Axial plane.
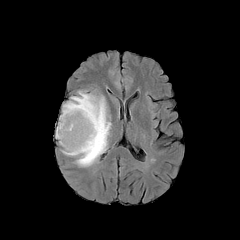
FLAIR MR.
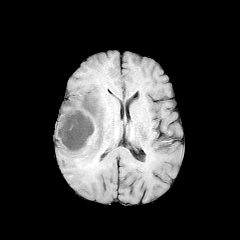
Same slice, T1-weighted MR.
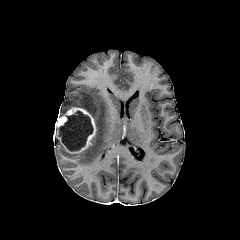
Same slice, post-contrast T1-weighted magnetic resonance.
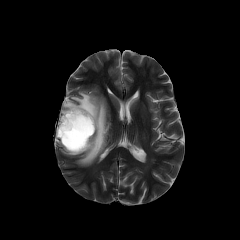
T2-weighted MR image.
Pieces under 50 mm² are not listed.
enhancing_tumor:
  - box=[55, 107, 96, 153]
peritumoral_edema:
  - box=[61, 91, 110, 166]
necrotic_tumor_core:
  - box=[56, 111, 93, 151]